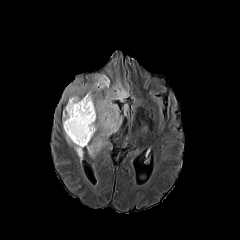
FLAIR magnetic resonance.
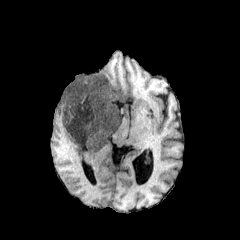
T1-weighted MR image.
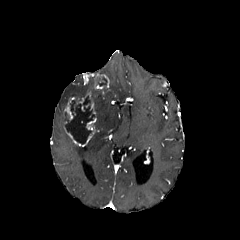
Post-contrast T1-weighted MR of the same slice.
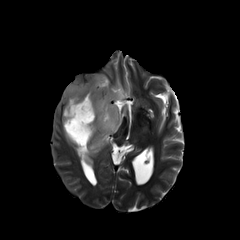
T2-weighted MRI.
Brain | Axial slice
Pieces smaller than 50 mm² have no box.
<segmentation>
  <necrotic_tumor_core><box>66,96,93,144</box></necrotic_tumor_core>
  <enhancing_tumor><box>63,73,109,146</box></enhancing_tumor>
  <peritumoral_edema><box>61,76,90,101</box>, <box>63,128,83,160</box>, <box>86,77,129,157</box></peritumoral_edema>
</segmentation>